Slice 127 of 155, 240x240, Axial view
FLAIR magnetic resonance.
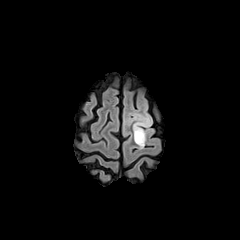
T1-weighted MRI.
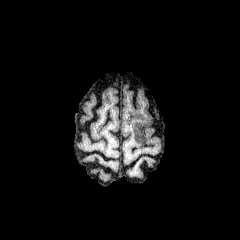
Post-contrast T1-weighted MR.
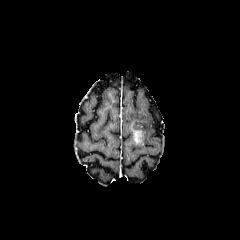
T2-weighted magnetic resonance.
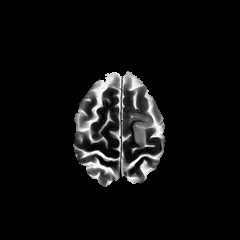
The peritumoral edema is located at 128 110 152 149. The enhancing tumor is at 134 130 143 144.